FLAIR MRI.
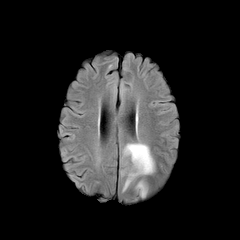
T1-weighted MRI.
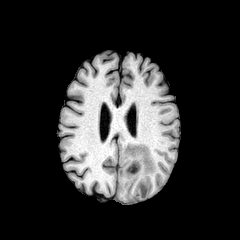
Post-contrast T1-weighted MRI.
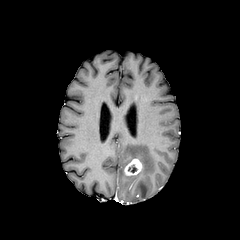
T2-weighted MR.
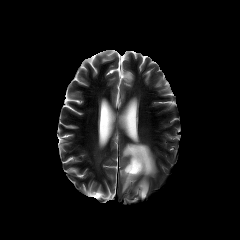
Brain
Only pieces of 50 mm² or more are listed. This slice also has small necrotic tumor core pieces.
The enhancing tumor is at <bbox>124, 158, 142, 175</bbox>. The 2 largest peritumoral edema regions appear at <bbox>136, 180, 147, 197</bbox>, <bbox>122, 143, 155, 191</bbox>.